Slice index 81; Axial plane; Brain; Image width 240 mm, 1.00 mm slice spacing
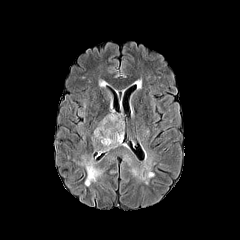
FLAIR MR image.
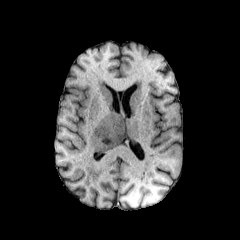
T1-weighted MRI.
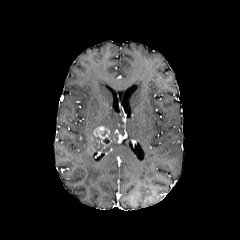
Post-contrast T1-weighted MRI.
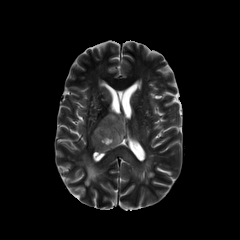
T2-weighted magnetic resonance.
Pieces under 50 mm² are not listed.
enhancing tumor at [94,126,115,145]
necrotic tumor core at [109,130,117,139]
peritumoral edema at [92,110,124,152], [80,156,102,186]